FLAIR magnetic resonance.
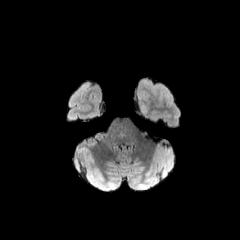
T1-weighted MRI.
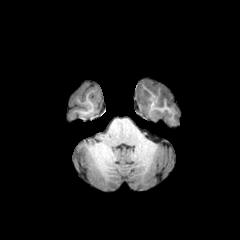
Post-contrast T1-weighted MR image.
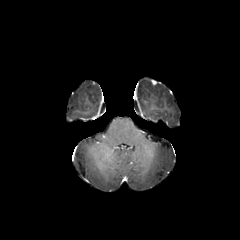
T2-weighted MRI.
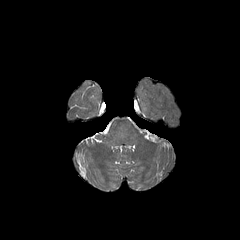
Brain; Axial view; 240x240
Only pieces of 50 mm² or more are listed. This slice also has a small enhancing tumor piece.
Findings:
• peritumoral edema: (141, 104, 147, 115)